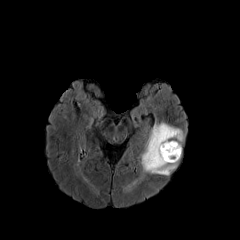
FLAIR MRI.
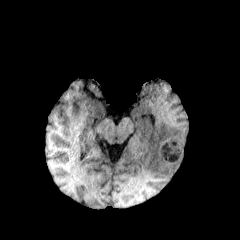
T1-weighted MR.
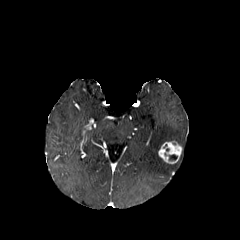
Post-contrast T1-weighted magnetic resonance.
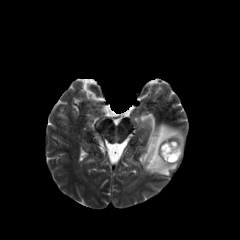
T2-weighted MR.
Image size 240x240, Head
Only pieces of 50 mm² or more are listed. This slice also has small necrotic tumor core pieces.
{
  "peritumoral_edema": [
    "141,122,184,175"
  ],
  "enhancing_tumor": [
    "158,141,182,163"
  ]
}